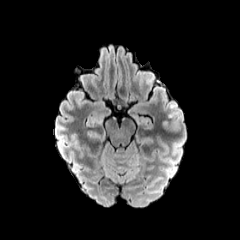
FLAIR MRI.
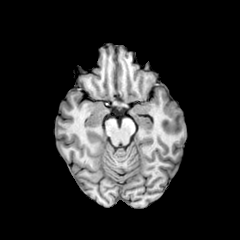
T1-weighted MR.
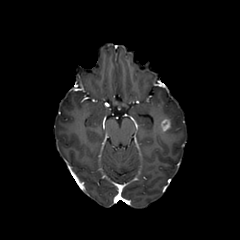
Post-contrast T1-weighted magnetic resonance of the same slice.
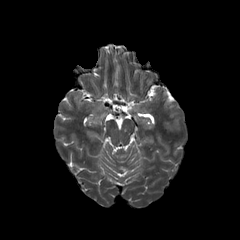
T2-weighted MR image.
240x240; Brain
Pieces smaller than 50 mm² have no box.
<segmentation>
  <enhancing_tumor>{"x1": 160, "y1": 119, "x2": 171, "y2": 131}</enhancing_tumor>
  <peritumoral_edema>{"x1": 170, "y1": 120, "x2": 178, "y2": 130}</peritumoral_edema>
</segmentation>